Axial plane, Head, Image covers 240 mm x 240 mm
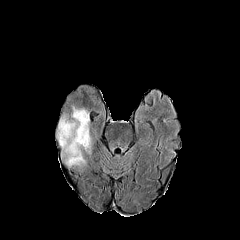
FLAIR magnetic resonance.
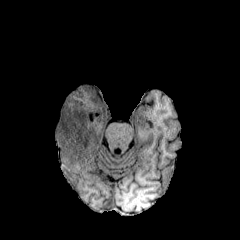
T1-weighted MRI.
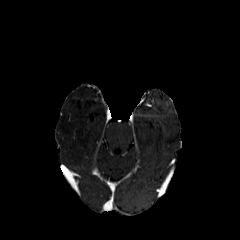
Same slice, post-contrast T1-weighted MRI.
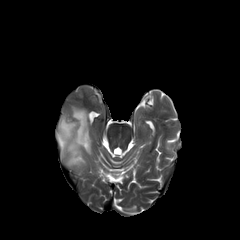
T2-weighted magnetic resonance.
peritumoral edema: x1=57, y1=106, x2=90, y2=165